FLAIR MR.
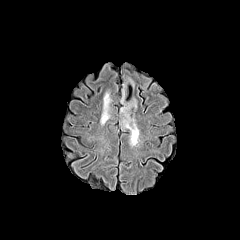
T1-weighted MR.
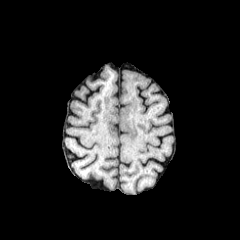
Post-contrast T1-weighted MR.
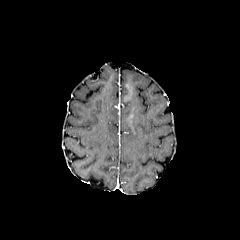
T2-weighted magnetic resonance.
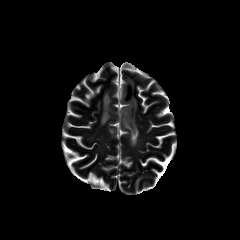
Head
peritumoral edema: (left=120, top=74, right=139, bottom=145), (left=100, top=92, right=111, bottom=124)